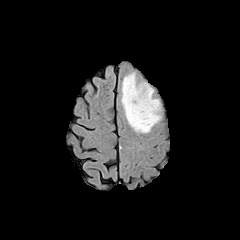
FLAIR MRI.
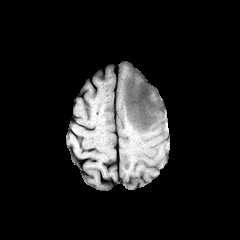
T1-weighted MR image.
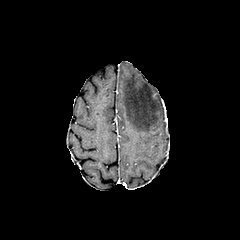
Same slice, post-contrast T1-weighted MRI.
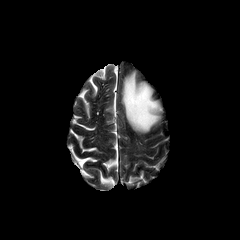
Same slice, T2-weighted MR image.
Image size 240x240; Axial plane; Head
<segmentation>
  <peritumoral_edema>121, 72, 160, 132</peritumoral_edema>
</segmentation>